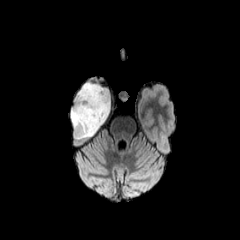
FLAIR MRI.
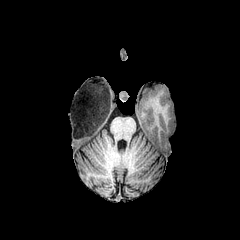
T1-weighted magnetic resonance.
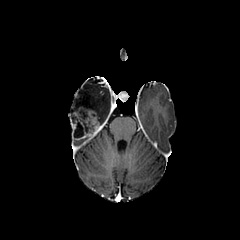
Post-contrast T1-weighted MR image.
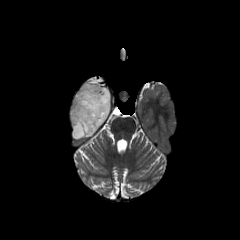
T2-weighted MR of the same slice.
Axial slice
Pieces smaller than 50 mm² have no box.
The peritumoral edema is located at region(70, 82, 110, 125). The largest necrotic tumor core region lies within region(73, 111, 93, 138). The largest enhancing tumor region is located at region(71, 107, 101, 139).